FLAIR magnetic resonance.
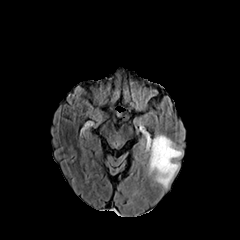
T1-weighted magnetic resonance.
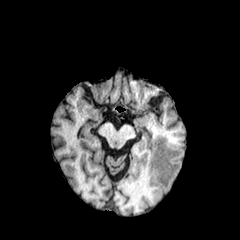
Post-contrast T1-weighted MR.
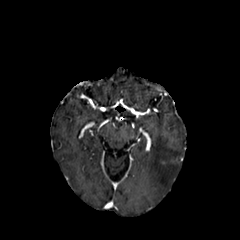
T2-weighted MR image.
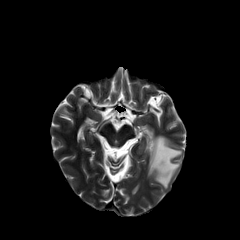
Brain
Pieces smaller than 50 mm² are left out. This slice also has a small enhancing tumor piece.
peritumoral_edema:
  - box(149, 135, 182, 188)